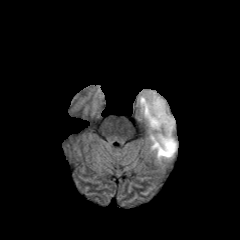
FLAIR magnetic resonance.
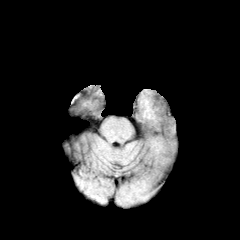
Same slice, T1-weighted magnetic resonance.
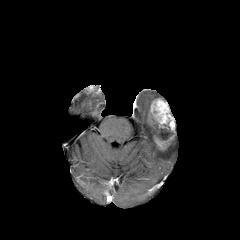
Post-contrast T1-weighted MR of the same slice.
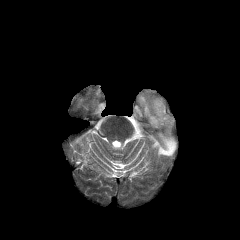
T2-weighted MR image.
Axial view.
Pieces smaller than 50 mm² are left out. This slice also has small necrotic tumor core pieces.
The largest peritumoral edema region lies within bbox(136, 89, 177, 162). The 2 largest enhancing tumor regions are located at bbox(149, 98, 175, 131); bbox(154, 132, 173, 150).